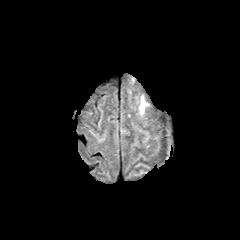
FLAIR MR.
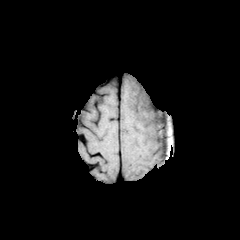
T1-weighted MR.
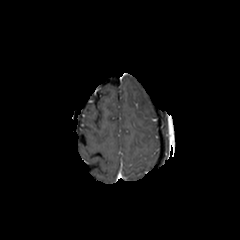
Same slice, post-contrast T1-weighted MR image.
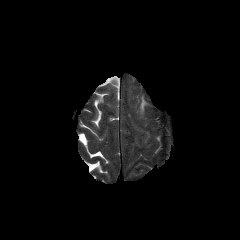
T2-weighted MRI.
Axial slice | Head | 240x240 px
* peritumoral edema: bbox=[140, 97, 146, 112]